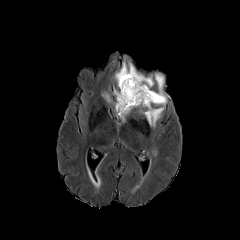
FLAIR magnetic resonance.
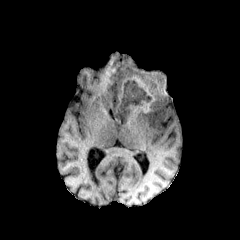
Same slice, T1-weighted MR image.
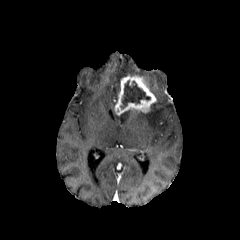
Post-contrast T1-weighted MR image.
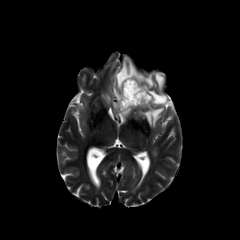
T2-weighted MR.
Head
necrotic tumor core: box=[121, 81, 150, 108]
enhancing tumor: box=[114, 74, 156, 115]
peritumoral edema: box=[116, 110, 131, 121]; box=[113, 58, 153, 96]; box=[102, 93, 111, 102]; box=[141, 73, 167, 127]